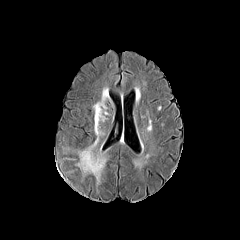
FLAIR MR.
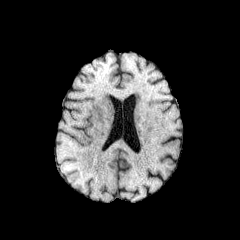
T1-weighted magnetic resonance.
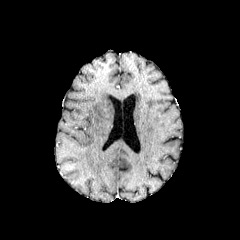
Post-contrast T1-weighted magnetic resonance of the same slice.
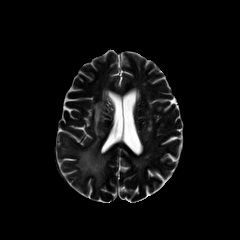
Same slice, T2-weighted MR image.
Findings:
• peritumoral edema: box=[78, 139, 105, 183]; box=[93, 96, 107, 135]